FLAIR MRI.
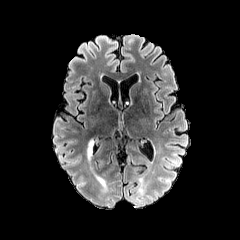
T1-weighted magnetic resonance.
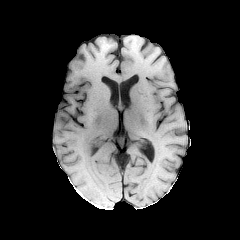
Post-contrast T1-weighted MR.
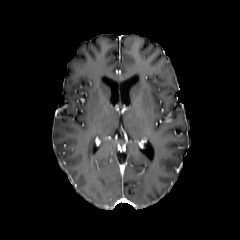
T2-weighted MRI.
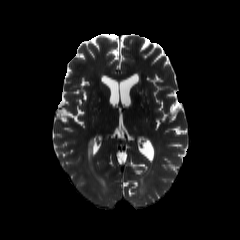
Annotated regions:
* peritumoral edema: 87 140 94 160